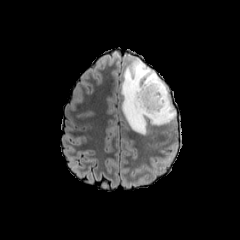
FLAIR MR.
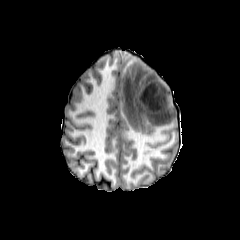
T1-weighted MRI.
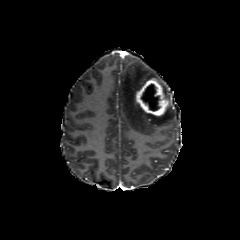
Post-contrast T1-weighted MR of the same slice.
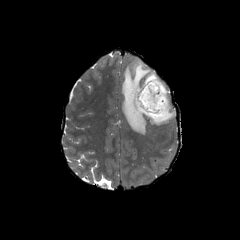
T2-weighted MR.
Axial plane.
enhancing tumor at 135:77:168:117
peritumoral edema at 120:59:175:134
necrotic tumor core at 141:84:159:110